FLAIR MR image.
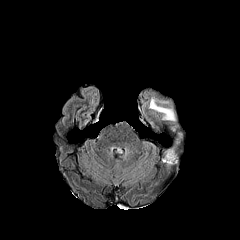
T1-weighted magnetic resonance.
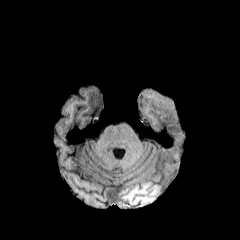
Post-contrast T1-weighted MRI.
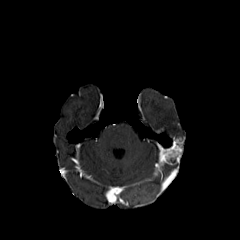
T2-weighted MRI.
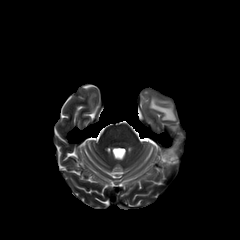
Head; Axial plane
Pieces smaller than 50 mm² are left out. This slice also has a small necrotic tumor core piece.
enhancing tumor — region(162, 137, 183, 164)
peritumoral edema — region(148, 96, 175, 121)